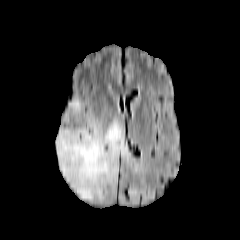
FLAIR MR image.
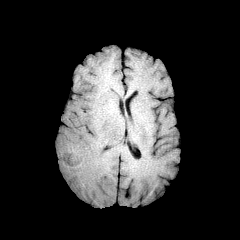
T1-weighted magnetic resonance.
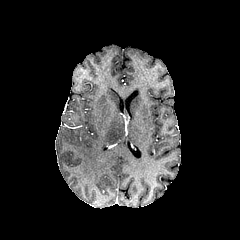
Post-contrast T1-weighted MRI of the same slice.
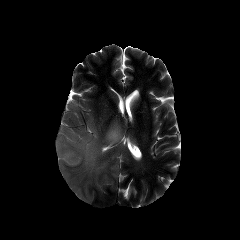
Same slice, T2-weighted magnetic resonance.
240x240 | Axial slice
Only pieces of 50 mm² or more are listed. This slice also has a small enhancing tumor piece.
peritumoral_edema:
  - 56:99:129:201